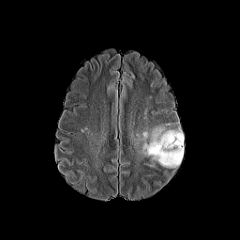
FLAIR MRI.
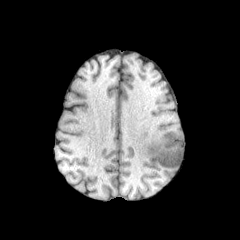
T1-weighted MR.
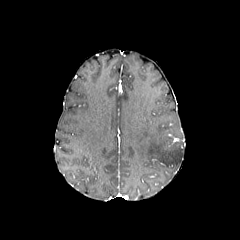
Post-contrast T1-weighted MR image of the same slice.
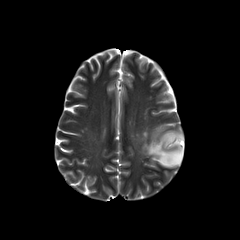
Same slice, T2-weighted MR image.
Brain, Axial slice, Image size 240x240
peritumoral edema: 142 127 183 167